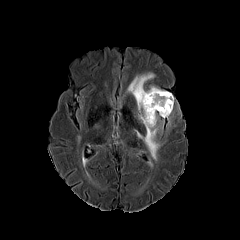
FLAIR MRI.
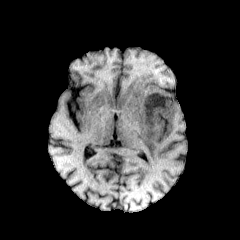
T1-weighted MR.
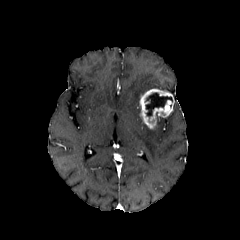
Post-contrast T1-weighted MR image.
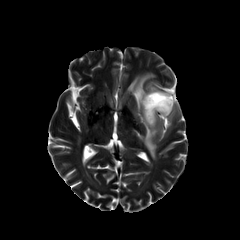
T2-weighted MR image of the same slice.
Axial view | Brain
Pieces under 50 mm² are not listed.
Segmented structures:
* peritumoral edema: (left=127, top=73, right=154, bottom=112), (left=135, top=119, right=163, bottom=160)
* enhancing tumor: (left=139, top=88, right=174, bottom=129)
* necrotic tumor core: (left=146, top=93, right=172, bottom=116)